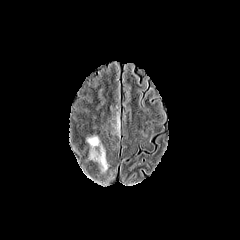
FLAIR magnetic resonance.
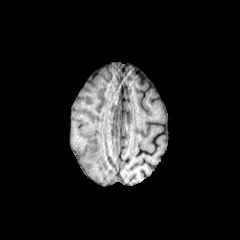
T1-weighted MRI.
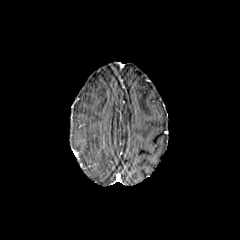
Post-contrast T1-weighted MRI.
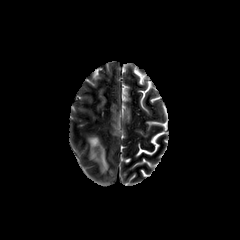
T2-weighted MRI.
240x240 px | Brain
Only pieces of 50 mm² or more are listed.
peritumoral edema: <box>87,136,108,172</box>